Head, 240x240, Axial plane
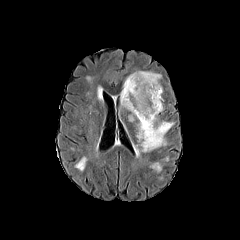
FLAIR MR.
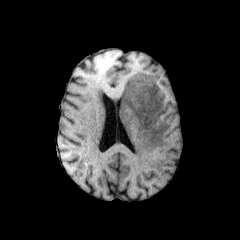
T1-weighted MR image.
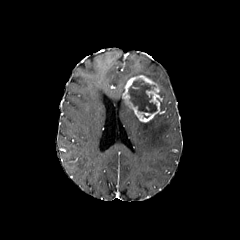
Post-contrast T1-weighted MR.
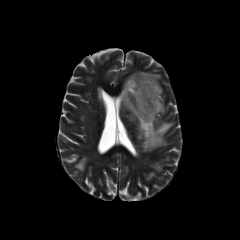
T2-weighted MRI of the same slice.
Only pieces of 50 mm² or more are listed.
<segmentation>
  <enhancing_tumor>[122,75,162,122]</enhancing_tumor>
  <peritumoral_edema>[120,71,162,121], [136,115,173,151]</peritumoral_edema>
  <necrotic_tumor_core>[129,80,156,112]</necrotic_tumor_core>
</segmentation>